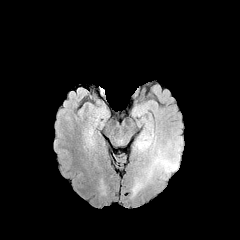
FLAIR MRI.
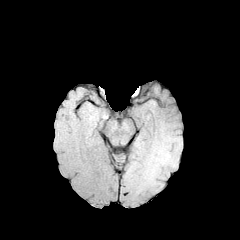
Same slice, T1-weighted MR image.
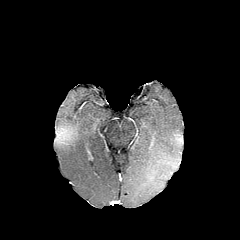
Post-contrast T1-weighted MR image.
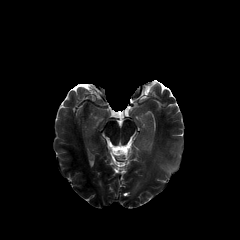
T2-weighted MR.
Axial view
{
  "peritumoral_edema": [
    "bbox=[133, 124, 183, 194]"
  ]
}